Axial view; Slice 87/155
FLAIR MR image.
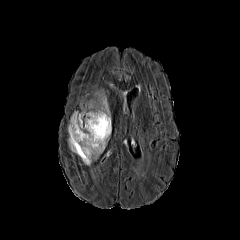
T1-weighted magnetic resonance.
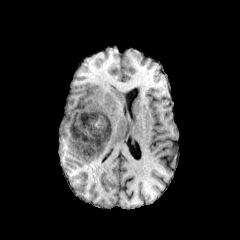
Post-contrast T1-weighted MR.
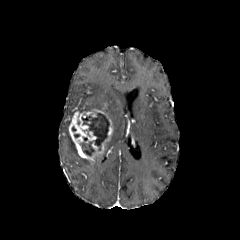
T2-weighted MR image.
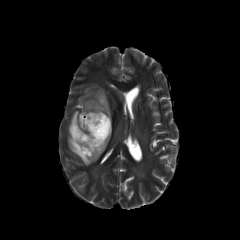
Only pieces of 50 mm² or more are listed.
<segmentation>
  <necrotic_tumor_core>[87, 101, 101, 110], [82, 142, 94, 155], [81, 113, 109, 146]</necrotic_tumor_core>
  <peritumoral_edema>[68, 136, 78, 154], [96, 90, 107, 107]</peritumoral_edema>
  <enhancing_tumor>[68, 103, 112, 161]</enhancing_tumor>
</segmentation>